FLAIR MR.
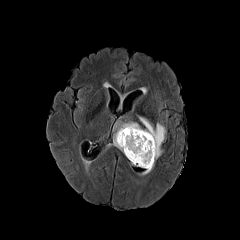
T1-weighted magnetic resonance.
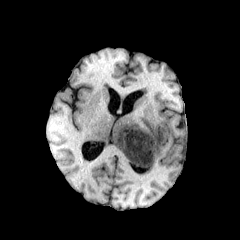
Post-contrast T1-weighted MR image.
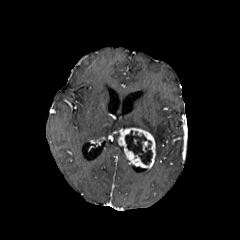
T2-weighted MR image.
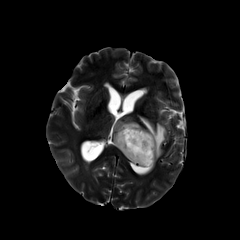
Axial plane, Head, 240x240
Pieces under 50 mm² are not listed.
* peritumoral edema: (x1=139, y1=116, x2=165, y2=160), (x1=114, y1=121, x2=141, y2=130), (x1=113, y1=132, x2=123, y2=152)
* necrotic tumor core: (x1=125, y1=131, x2=152, y2=164)
* enhancing tumor: (x1=117, y1=127, x2=155, y2=169)